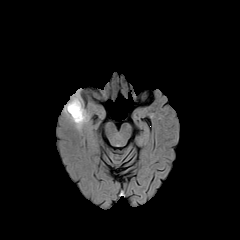
FLAIR MRI.
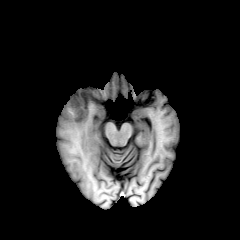
Same slice, T1-weighted MR image.
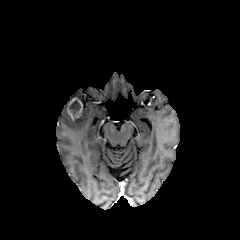
Same slice, post-contrast T1-weighted magnetic resonance.
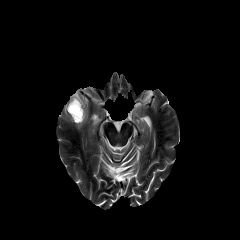
T2-weighted MRI.
Brain
The enhancing tumor lies within box(67, 97, 82, 120). The peritumoral edema is at box(63, 89, 89, 129). The necrotic tumor core lies within box(69, 100, 80, 114).